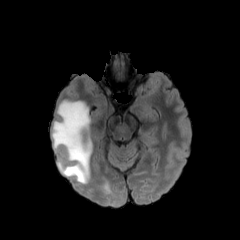
FLAIR magnetic resonance.
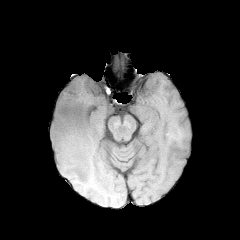
T1-weighted MRI.
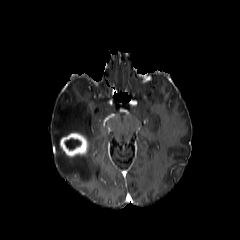
Same slice, post-contrast T1-weighted MRI.
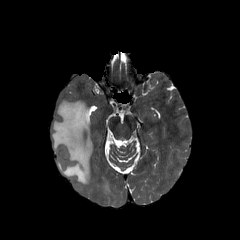
Same slice, T2-weighted MRI.
Axial slice; Head; Image size 240x240
The enhancing tumor is bounded by l=59, t=132, r=88, b=157. The peritumoral edema is at l=51, t=100, r=93, b=183. The necrotic tumor core is located at l=65, t=139, r=80, b=148.